FLAIR magnetic resonance.
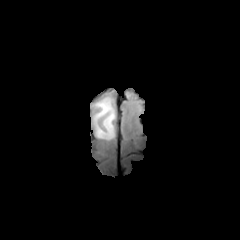
T1-weighted MRI.
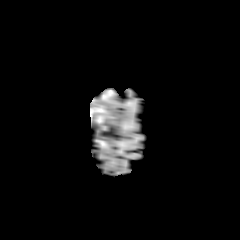
Post-contrast T1-weighted MR.
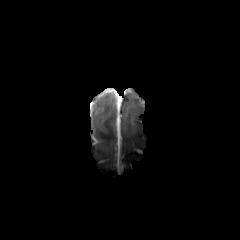
T2-weighted MR image.
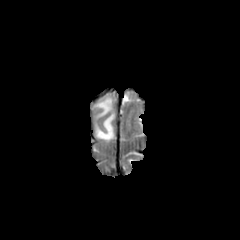
Axial slice; Brain
Findings:
* peritumoral edema: [93, 94, 115, 141]